FLAIR magnetic resonance.
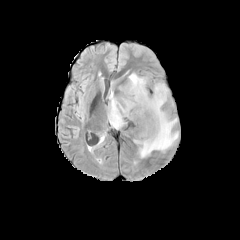
T1-weighted MRI.
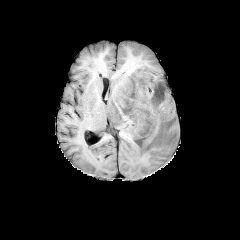
Post-contrast T1-weighted MRI.
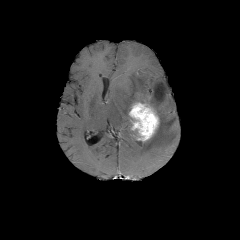
T2-weighted MRI.
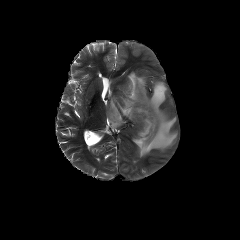
Brain. 240x240.
peritumoral edema: bounding box box=[108, 73, 178, 157]
enhancing tumor: bounding box box=[128, 102, 159, 141]